Axial plane, 240x240, Slice 110 of 155
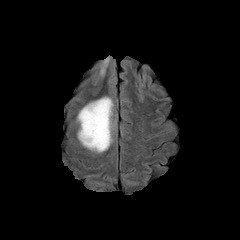
FLAIR MRI.
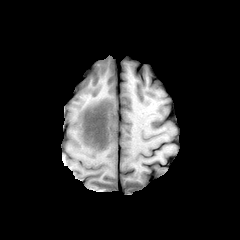
T1-weighted MR image.
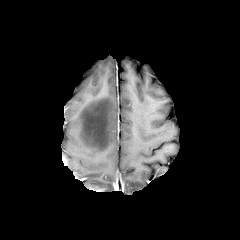
Post-contrast T1-weighted magnetic resonance.
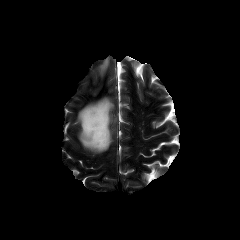
T2-weighted MRI.
<segmentation>
  <peritumoral_edema>{"x1": 100, "y1": 58, "x2": 108, "y2": 74}, {"x1": 78, "y1": 97, "x2": 113, "y2": 152}</peritumoral_edema>
</segmentation>